FLAIR MRI.
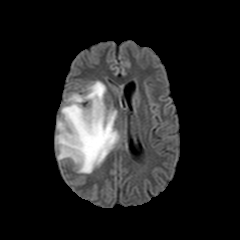
T1-weighted MR image.
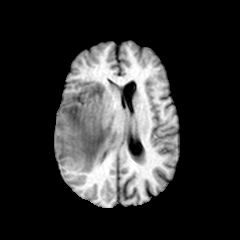
Post-contrast T1-weighted MR.
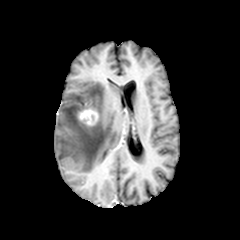
T2-weighted magnetic resonance.
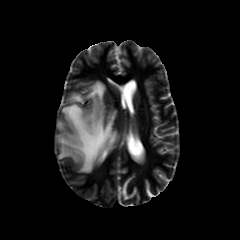
Axial slice. Brain. 240x240 px.
* peritumoral edema: x1=55 y1=81 x2=119 y2=173
* enhancing tumor: x1=78 y1=109 x2=98 y2=125